FLAIR magnetic resonance.
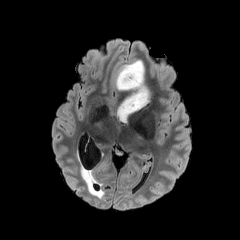
T1-weighted magnetic resonance.
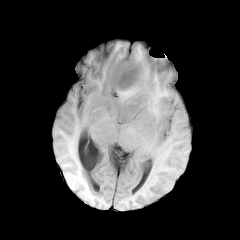
Post-contrast T1-weighted MRI.
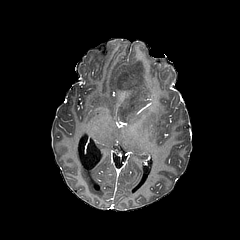
T2-weighted MRI.
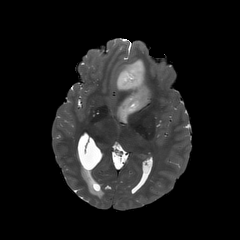
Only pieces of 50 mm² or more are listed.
The largest necrotic tumor core region is at bbox=[119, 66, 147, 101]. The largest peritumoral edema region is at bbox=[115, 58, 150, 120].